Slice 84/155. 240x240 px. Brain.
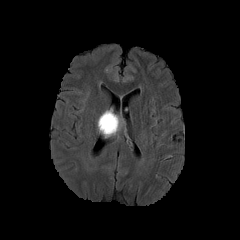
FLAIR MR image.
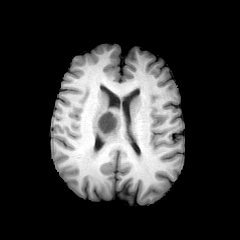
T1-weighted MR image.
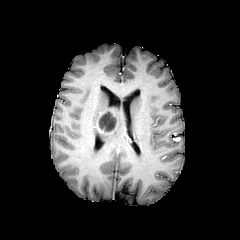
Post-contrast T1-weighted MR of the same slice.
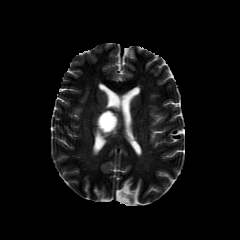
Same slice, T2-weighted MR image.
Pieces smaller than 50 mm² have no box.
The necrotic tumor core is at x1=98, y1=112, x2=116, y2=132. The largest enhancing tumor region appears at x1=97, y1=117, x2=113, y2=134. The largest peritumoral edema region appears at x1=103, y1=110, x2=120, y2=136.